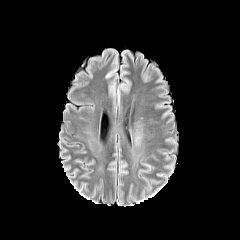
FLAIR MR image.
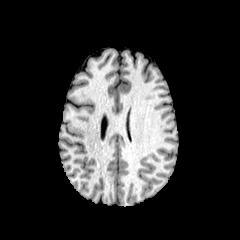
Same slice, T1-weighted MRI.
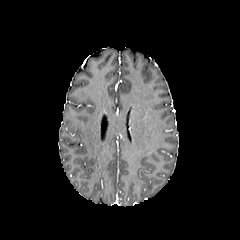
Post-contrast T1-weighted MR image of the same slice.
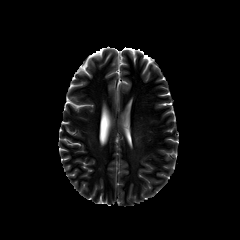
Same slice, T2-weighted magnetic resonance.
240x240 px
* peritumoral edema: [135,130,141,144]